240x240; Axial slice
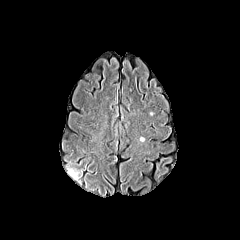
FLAIR MRI.
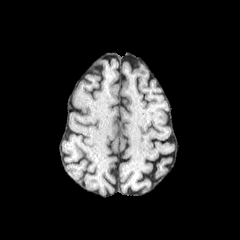
T1-weighted MR.
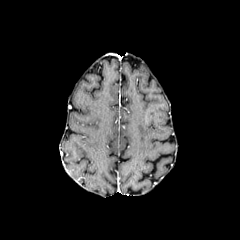
Post-contrast T1-weighted MRI of the same slice.
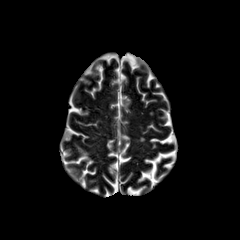
Same slice, T2-weighted magnetic resonance.
peritumoral edema: [x1=67, y1=167, x2=80, y2=179]